FLAIR magnetic resonance.
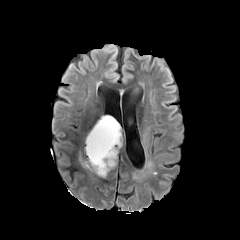
T1-weighted MR image.
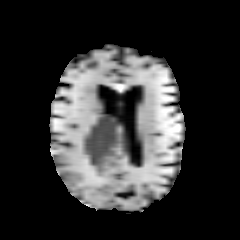
Post-contrast T1-weighted MRI.
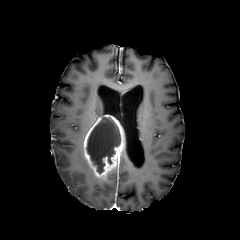
T2-weighted MR.
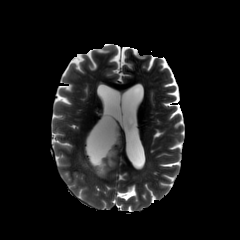
Head; Axial slice
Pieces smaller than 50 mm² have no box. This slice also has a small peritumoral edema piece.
{"necrotic_tumor_core": ["box(86, 117, 120, 173)"], "enhancing_tumor": ["box(84, 114, 125, 178)"]}